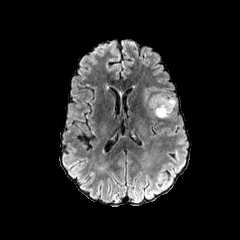
FLAIR magnetic resonance.
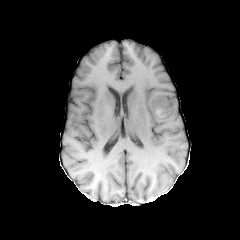
T1-weighted MRI.
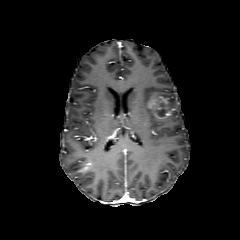
Post-contrast T1-weighted MR of the same slice.
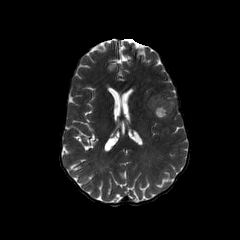
T2-weighted MR image.
Head
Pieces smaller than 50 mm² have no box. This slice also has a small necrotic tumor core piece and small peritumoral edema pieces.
enhancing tumor: (x1=147, y1=95, x2=173, y2=118)